FLAIR MRI.
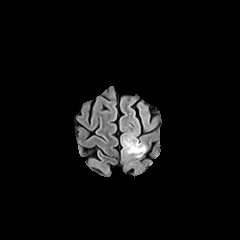
T1-weighted magnetic resonance.
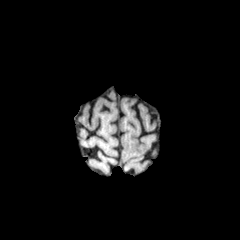
Post-contrast T1-weighted MRI.
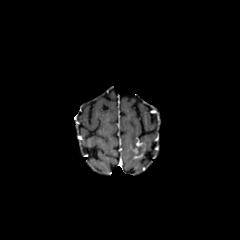
T2-weighted MRI.
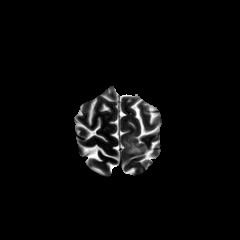
Axial slice. Head.
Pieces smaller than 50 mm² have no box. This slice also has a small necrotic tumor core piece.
Findings:
* peritumoral edema: rect(122, 133, 145, 155)
* enhancing tumor: rect(136, 141, 145, 151)